FLAIR MR image.
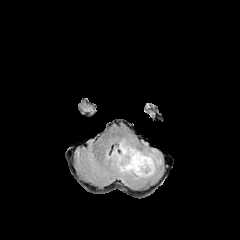
T1-weighted MRI.
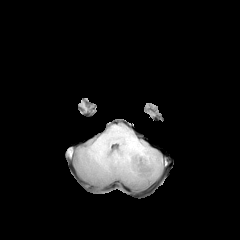
Post-contrast T1-weighted MR image.
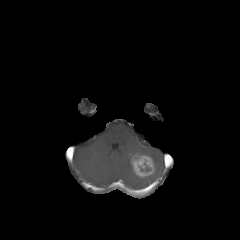
T2-weighted MR.
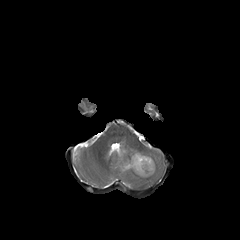
240x240. Axial plane.
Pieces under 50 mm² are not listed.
Annotated regions:
- enhancing tumor: (x1=130, y1=153, x2=154, y2=177)
- peritumoral edema: (x1=111, y1=140, x2=162, y2=183)